Slice index 54. Brain.
FLAIR MRI.
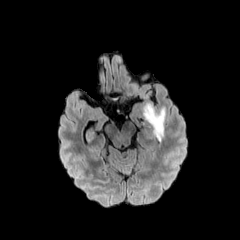
T1-weighted magnetic resonance.
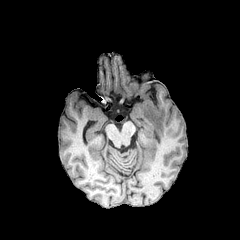
Post-contrast T1-weighted magnetic resonance.
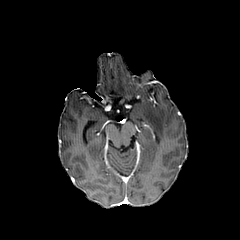
T2-weighted MR.
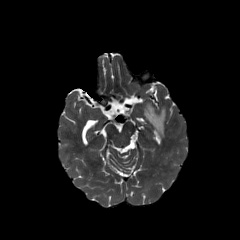
The peritumoral edema lies within box=[143, 103, 165, 141].